FLAIR MR.
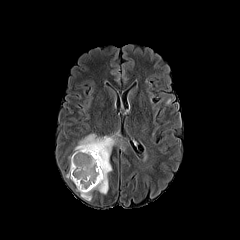
T1-weighted MR.
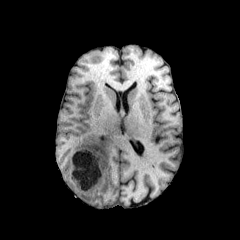
Post-contrast T1-weighted MR image.
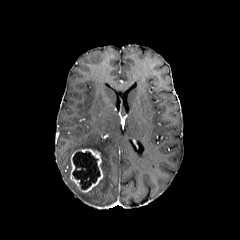
T2-weighted MR image.
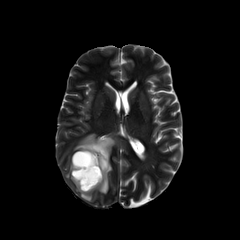
Head.
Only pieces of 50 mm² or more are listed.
enhancing tumor — (70,149,103,192)
peritumoral edema — (73,132,125,201), (66,156,71,179)
necrotic tumor core — (72,151,100,189)